Head | Image width 240 mm, 1.00 mm slice spacing | Slice index 62 | Image size 240x240
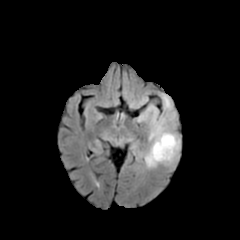
FLAIR magnetic resonance.
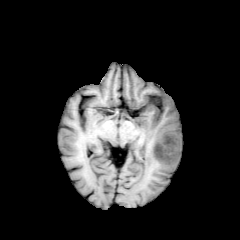
T1-weighted MRI.
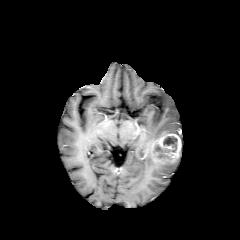
Post-contrast T1-weighted MR image.
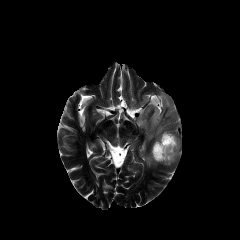
T2-weighted MR of the same slice.
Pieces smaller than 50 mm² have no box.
peritumoral edema: {"x1": 132, "y1": 92, "x2": 180, "y2": 168}
enhancing tumor: {"x1": 152, "y1": 132, "x2": 181, "y2": 163}
necrotic tumor core: {"x1": 154, "y1": 145, "x2": 169, "y2": 152}, {"x1": 163, "y1": 136, "x2": 177, "y2": 151}